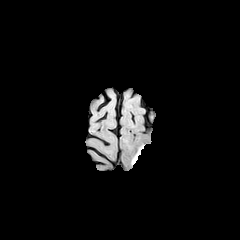
FLAIR magnetic resonance.
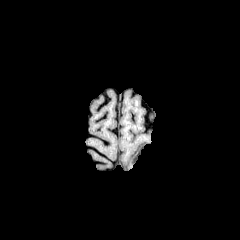
T1-weighted magnetic resonance.
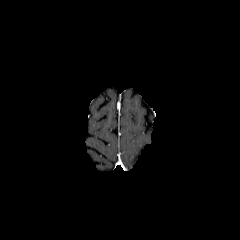
Post-contrast T1-weighted MR of the same slice.
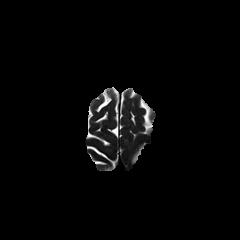
T2-weighted MRI.
Head
The peritumoral edema is bounded by <box>132,146,143,163</box>.